Axial plane.
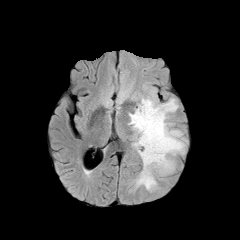
FLAIR MR.
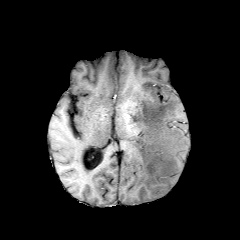
T1-weighted MR.
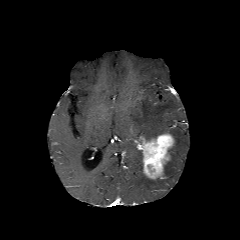
Post-contrast T1-weighted MR of the same slice.
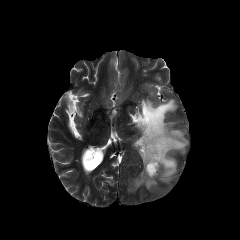
T2-weighted MR image of the same slice.
<segmentation>
  <peritumoral_edema>(left=129, top=98, right=187, bottom=181), (left=133, top=170, right=157, bottom=190)</peritumoral_edema>
  <enhancing_tumor>(left=137, top=133, right=174, bottom=179)</enhancing_tumor>
</segmentation>